FLAIR MR image.
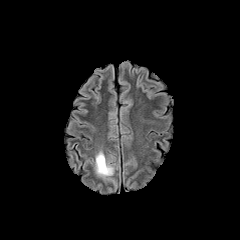
T1-weighted MR image.
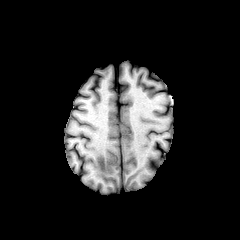
Post-contrast T1-weighted MRI.
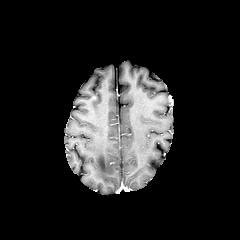
T2-weighted MRI.
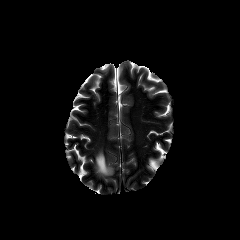
240x240; Head
Annotated regions:
- peritumoral edema: bbox(95, 151, 113, 178)